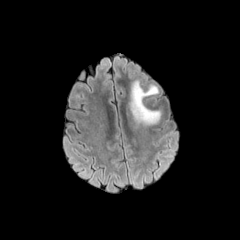
FLAIR MR image.
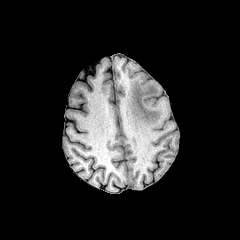
T1-weighted MRI.
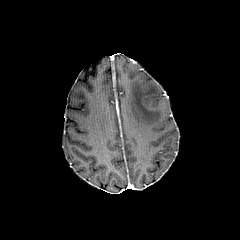
Post-contrast T1-weighted magnetic resonance.
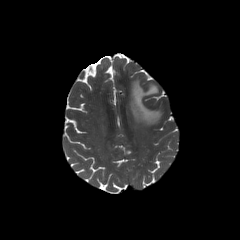
Same slice, T2-weighted MR image.
Axial plane; Head; 240x240
The peritumoral edema lies within 130:81:160:125.